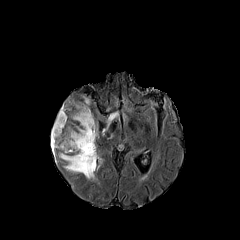
FLAIR MR.
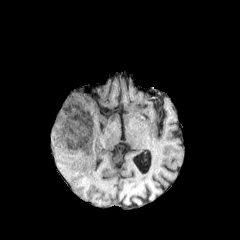
T1-weighted MR image of the same slice.
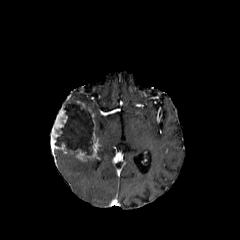
Post-contrast T1-weighted MRI.
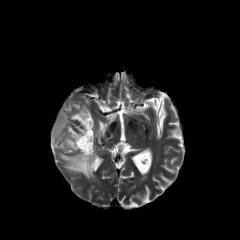
T2-weighted magnetic resonance of the same slice.
240x240.
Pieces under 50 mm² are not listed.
Annotated regions:
* enhancing tumor: box=[75, 127, 97, 161]; box=[50, 97, 69, 153]
* peritumoral edema: box=[59, 153, 96, 178]
* necrotic tumor core: box=[55, 99, 94, 155]